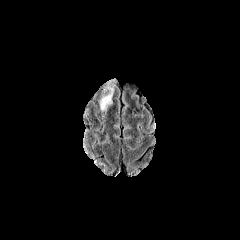
FLAIR magnetic resonance.
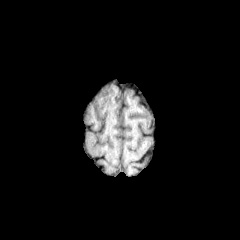
T1-weighted MR.
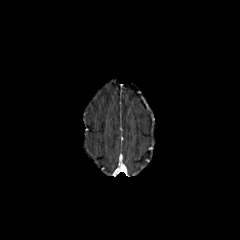
Post-contrast T1-weighted magnetic resonance of the same slice.
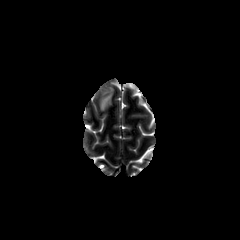
T2-weighted MR of the same slice.
Head
peritumoral_edema:
  - {"x1": 100, "y1": 87, "x2": 113, "y2": 110}